FLAIR MR.
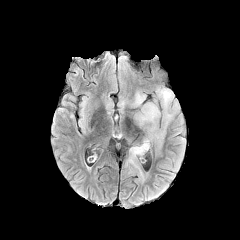
T1-weighted magnetic resonance.
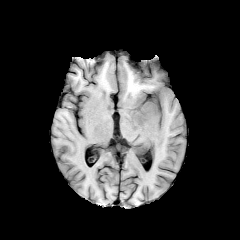
Post-contrast T1-weighted MR.
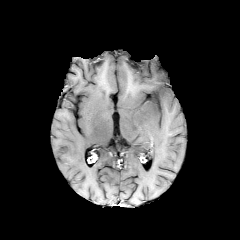
T2-weighted MR.
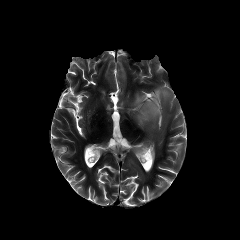
Head; Axial view
The peritumoral edema is located at (128,87,179,145).